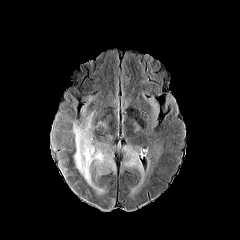
FLAIR MR.
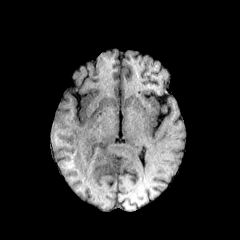
T1-weighted magnetic resonance.
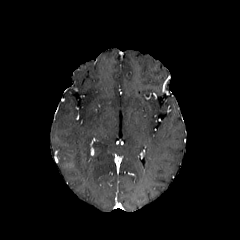
Post-contrast T1-weighted magnetic resonance.
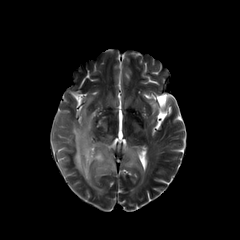
T2-weighted MR image of the same slice.
240x240 px, Brain
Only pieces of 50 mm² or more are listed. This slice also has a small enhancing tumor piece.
peritumoral edema: 54:113:114:193, 123:146:141:171, 58:150:72:171